FLAIR MRI.
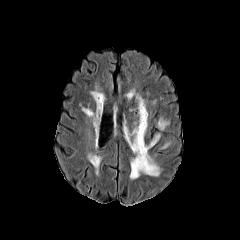
T1-weighted MRI.
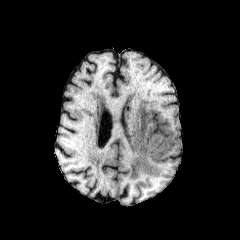
Post-contrast T1-weighted MR.
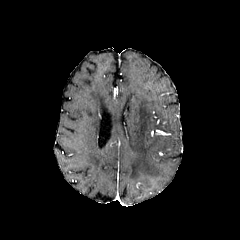
T2-weighted MR image.
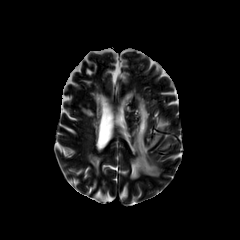
Axial slice
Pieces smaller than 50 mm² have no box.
<segmentation>
  <peritumoral_edema>x1=158 y1=119 x2=168 y2=129, x1=125 y1=97 x2=160 y2=179</peritumoral_edema>
</segmentation>